240x240 px; Brain
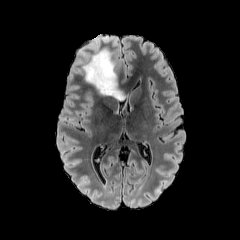
FLAIR MR.
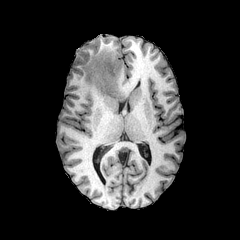
Same slice, T1-weighted MR image.
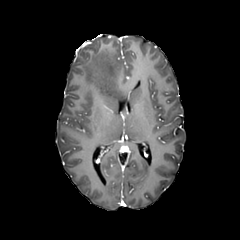
Post-contrast T1-weighted MRI.
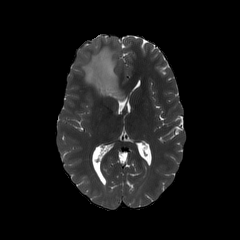
T2-weighted MR.
peritumoral edema — box=[82, 48, 124, 100]